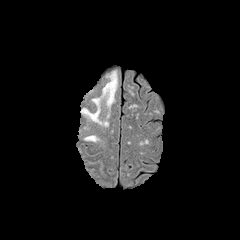
FLAIR MR.
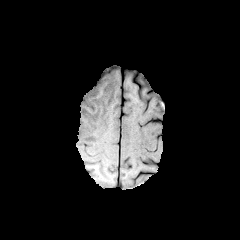
T1-weighted MR of the same slice.
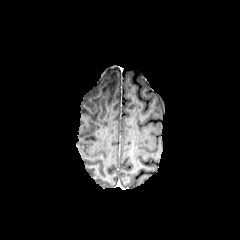
Post-contrast T1-weighted MR.
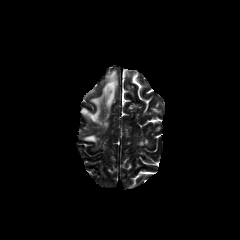
T2-weighted MR image.
Brain. 240x240 px.
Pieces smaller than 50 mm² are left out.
Findings:
• peritumoral edema: box(84, 135, 98, 141); box(81, 70, 117, 126)